Brain | Axial slice
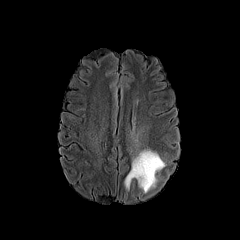
FLAIR MR.
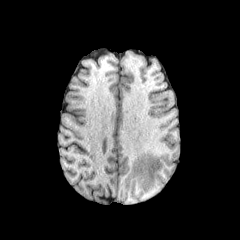
Same slice, T1-weighted magnetic resonance.
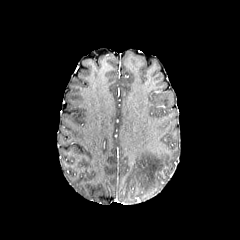
Post-contrast T1-weighted magnetic resonance of the same slice.
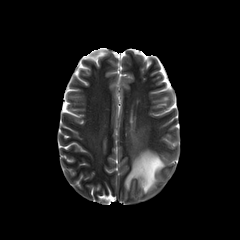
T2-weighted MRI of the same slice.
peritumoral edema: x1=124, y1=149, x2=165, y2=193